FLAIR magnetic resonance.
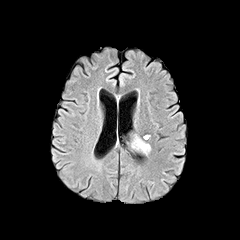
T1-weighted MRI.
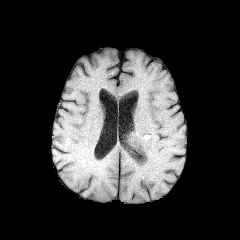
Post-contrast T1-weighted MR image.
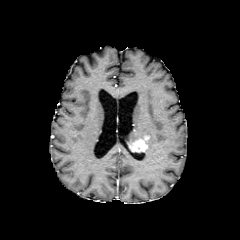
T2-weighted MR.
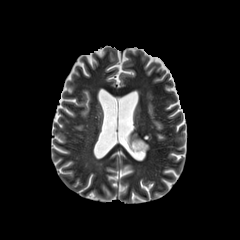
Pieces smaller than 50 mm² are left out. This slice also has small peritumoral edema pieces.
The enhancing tumor is located at {"x1": 131, "y1": 139, "x2": 147, "y2": 152}.